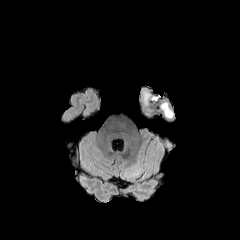
FLAIR MR image.
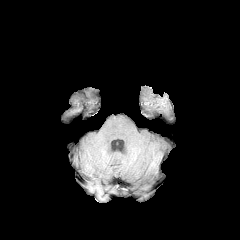
T1-weighted MR.
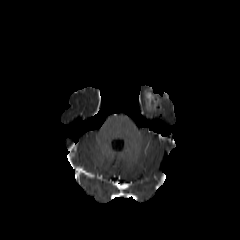
Post-contrast T1-weighted MRI.
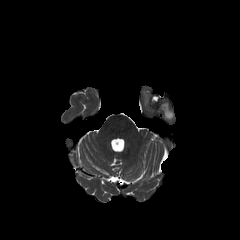
T2-weighted MRI.
<segmentation>
  <peritumoral_edema>bbox=[158, 102, 172, 117]</peritumoral_edema>
  <enhancing_tumor>bbox=[144, 90, 159, 110]</enhancing_tumor>
</segmentation>